Axial slice. Head. Slice 99 of 155.
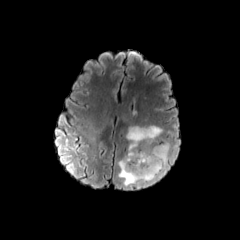
FLAIR MRI.
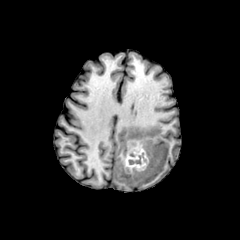
Same slice, T1-weighted MRI.
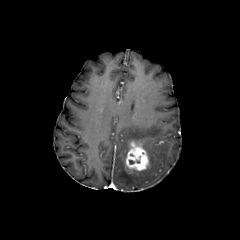
Post-contrast T1-weighted magnetic resonance.
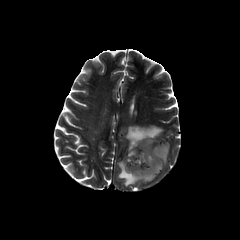
T2-weighted MRI.
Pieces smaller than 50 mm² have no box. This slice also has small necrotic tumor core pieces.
The enhancing tumor is at (125,141,149,171). The peritumoral edema is located at (117,125,169,186).